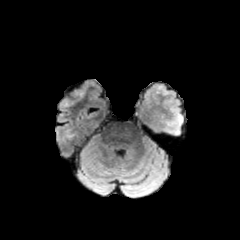
FLAIR MR.
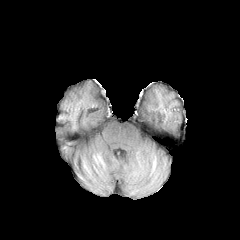
T1-weighted MR of the same slice.
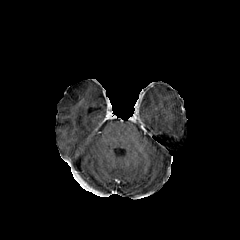
Post-contrast T1-weighted MRI.
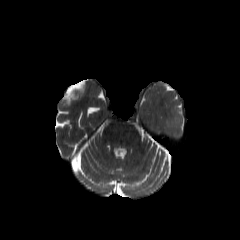
T2-weighted MR image.
240x240
peritumoral edema at (173, 117, 182, 125)